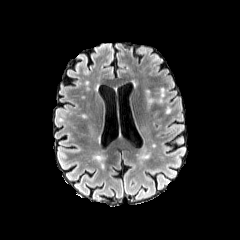
FLAIR MR image.
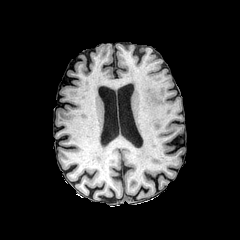
T1-weighted magnetic resonance.
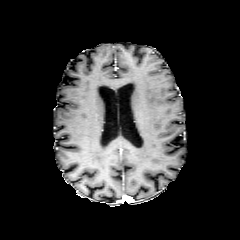
Same slice, post-contrast T1-weighted magnetic resonance.
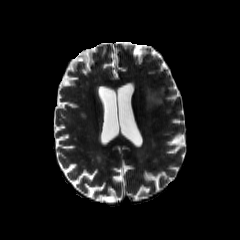
Same slice, T2-weighted MR.
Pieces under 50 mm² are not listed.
peritumoral_edema:
  - l=145, t=91, r=153, b=106